FLAIR MRI.
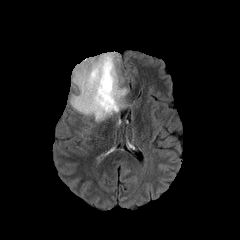
T1-weighted MR image.
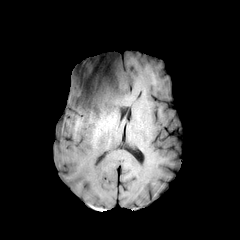
Post-contrast T1-weighted MR image.
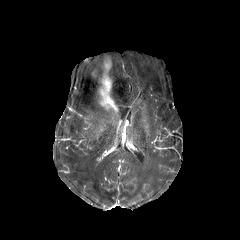
T2-weighted MRI.
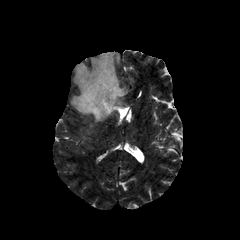
Head.
enhancing_tumor:
  - bbox=[99, 60, 116, 109]
peritumoral_edema:
  - bbox=[70, 52, 128, 122]